FLAIR magnetic resonance.
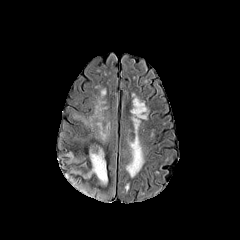
T1-weighted magnetic resonance.
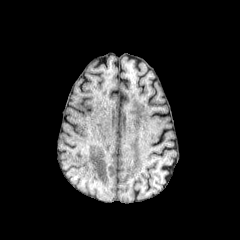
Post-contrast T1-weighted MR.
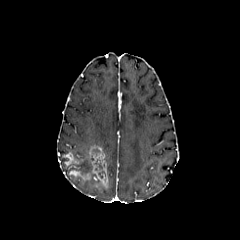
T2-weighted MRI.
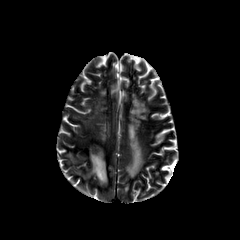
Axial view, Brain
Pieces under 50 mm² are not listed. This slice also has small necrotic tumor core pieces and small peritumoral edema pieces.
enhancing tumor: <box>89,145,107,187</box>, <box>63,152,82,166</box>, <box>69,170,91,181</box>